FLAIR magnetic resonance.
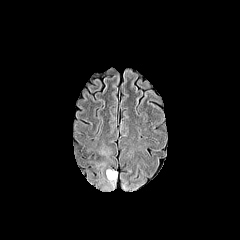
T1-weighted magnetic resonance.
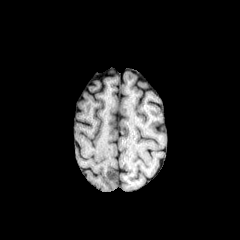
Post-contrast T1-weighted magnetic resonance.
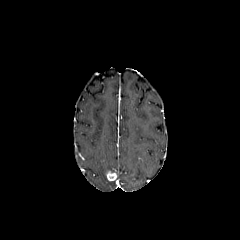
T2-weighted MRI.
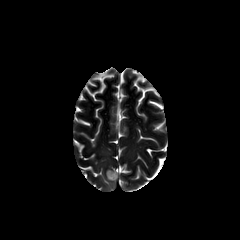
240x240 px
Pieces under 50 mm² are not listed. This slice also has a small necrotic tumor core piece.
peritumoral edema: 86, 140, 115, 168 | enhancing tumor: 107, 171, 116, 180